Axial slice.
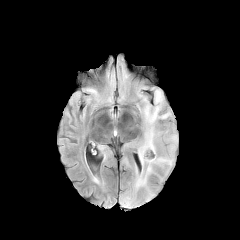
FLAIR magnetic resonance.
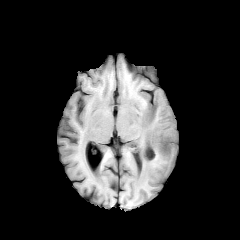
Same slice, T1-weighted MR.
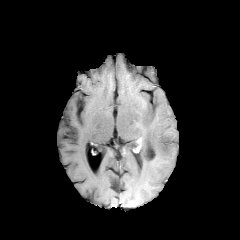
Post-contrast T1-weighted MR.
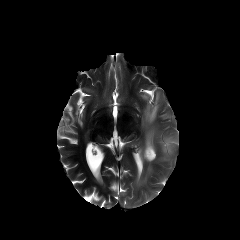
Same slice, T2-weighted MR image.
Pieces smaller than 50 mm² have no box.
peritumoral edema: bounding box bbox(166, 135, 177, 154); bbox(136, 106, 172, 186)